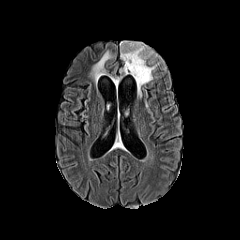
FLAIR MRI.
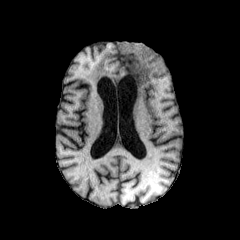
T1-weighted MR.
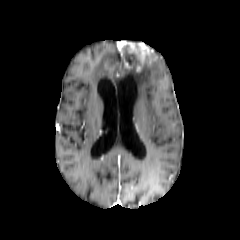
Post-contrast T1-weighted MRI.
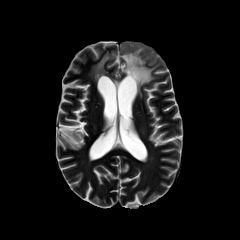
T2-weighted MR.
Head
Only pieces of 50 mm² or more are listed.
The enhancing tumor lies within 119:41:153:71. The necrotic tumor core is bounded by 122:45:140:65. The 2 largest peritumoral edema regions are bounded by 120:62:159:96, 91:51:112:81.